FLAIR MR.
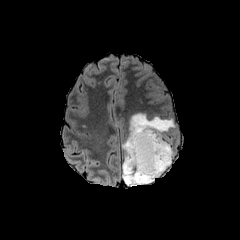
T1-weighted magnetic resonance.
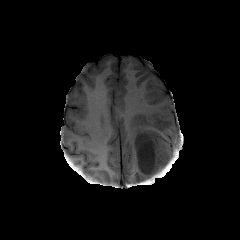
Post-contrast T1-weighted MR image.
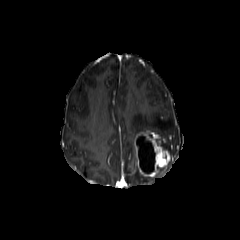
T2-weighted MRI.
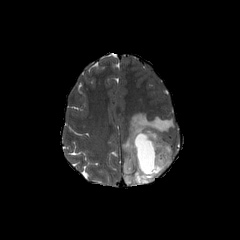
Head.
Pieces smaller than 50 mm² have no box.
peritumoral edema: bbox=[122, 113, 175, 186]
necrotic tumor core: bbox=[136, 135, 155, 173]
enhancing tumor: bbox=[133, 130, 171, 178]